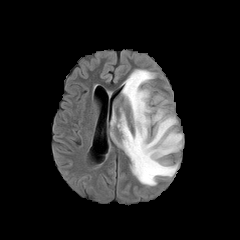
FLAIR magnetic resonance.
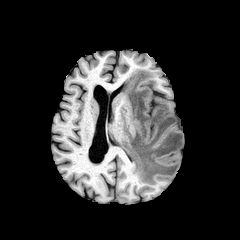
T1-weighted magnetic resonance.
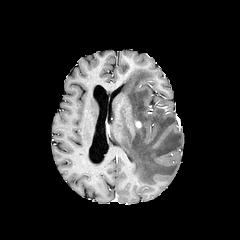
Post-contrast T1-weighted magnetic resonance.
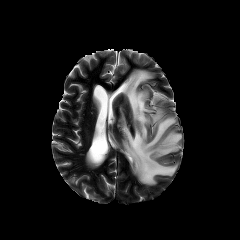
Same slice, T2-weighted magnetic resonance.
240x240 px
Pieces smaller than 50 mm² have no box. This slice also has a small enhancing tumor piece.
- peritumoral edema: left=110, top=69, right=182, bottom=185